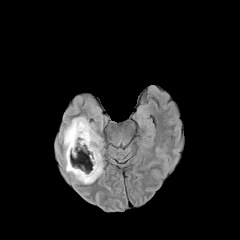
FLAIR MR.
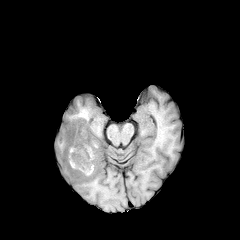
T1-weighted MR image.
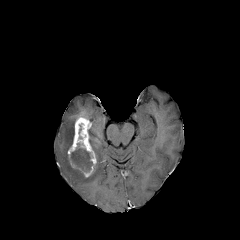
Post-contrast T1-weighted MR image.
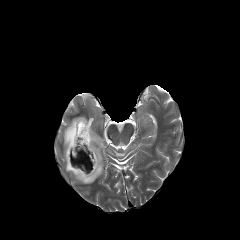
T2-weighted MRI of the same slice.
Head.
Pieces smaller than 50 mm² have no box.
The necrotic tumor core is bounded by x1=70, y1=148, x2=92, y2=171. The largest enhancing tumor region is located at x1=67, y1=117, x2=96, y2=177. The largest peritumoral edema region lies within x1=63, y1=117, x2=103, y2=183.